Axial view, Head, 240x240 px
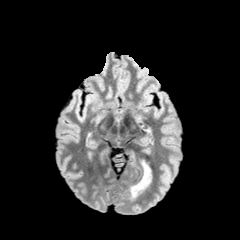
FLAIR MR.
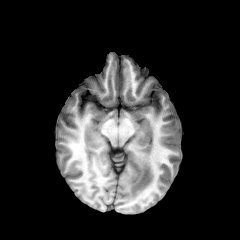
T1-weighted MR.
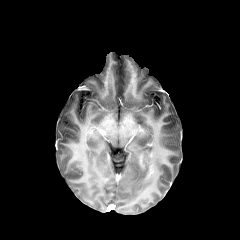
Post-contrast T1-weighted MRI of the same slice.
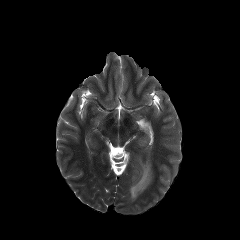
Same slice, T2-weighted MR image.
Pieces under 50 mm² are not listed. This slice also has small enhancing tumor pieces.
The largest peritumoral edema region appears at x1=130 y1=159 x2=152 y2=198.